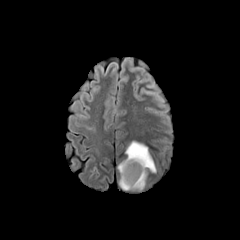
FLAIR MR image.
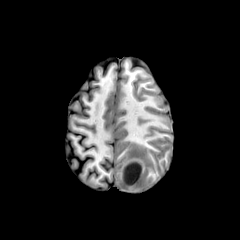
T1-weighted MR image.
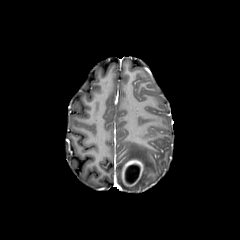
Post-contrast T1-weighted MRI of the same slice.
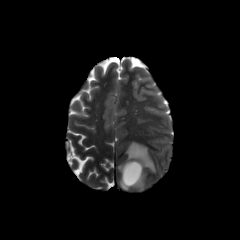
T2-weighted magnetic resonance.
Image size 240x240 | Brain
The enhancing tumor lies within 121,160,143,186. 2 necrotic tumor core regions appear at 125,164,140,184; 135,170,144,185. The peritumoral edema is located at 118,141,156,190.